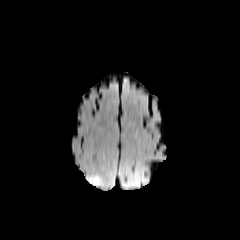
FLAIR MR.
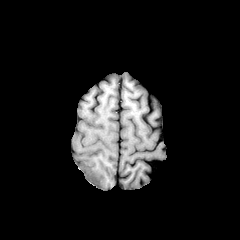
T1-weighted MRI of the same slice.
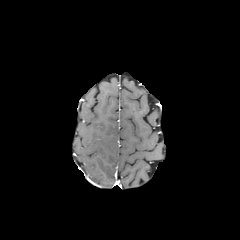
Post-contrast T1-weighted MRI.
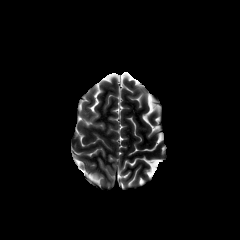
T2-weighted MR.
240x240 px. Axial plane.
<segmentation>
  <peritumoral_edema>box(89, 174, 101, 184)</peritumoral_edema>
</segmentation>